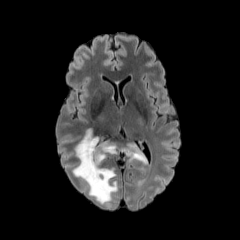
FLAIR MRI.
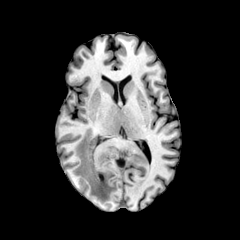
T1-weighted magnetic resonance.
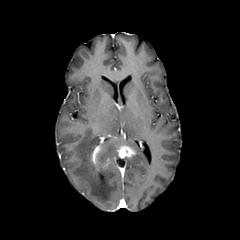
Post-contrast T1-weighted MRI.
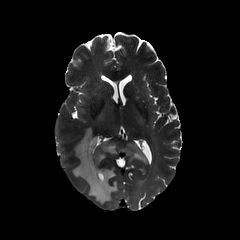
Same slice, T2-weighted MRI.
Axial slice
Findings:
* peritumoral edema: 125, 143, 146, 163; 72, 129, 119, 204
* enhancing tumor: 117, 145, 135, 157; 91, 146, 100, 165